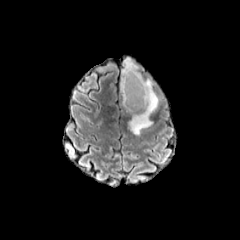
FLAIR magnetic resonance.
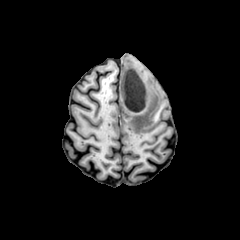
T1-weighted MRI of the same slice.
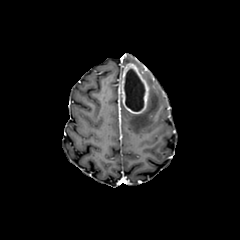
Post-contrast T1-weighted MRI.
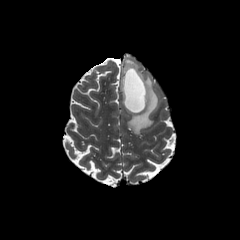
T2-weighted MRI.
240x240 px
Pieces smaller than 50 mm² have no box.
Segmented structures:
- necrotic tumor core: 124 69 144 111
- peritumoral edema: 121 76 159 135, 123 57 134 65
- enhancing tumor: 121 63 149 114